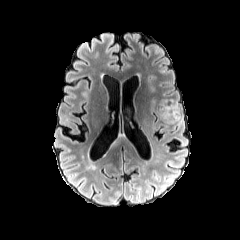
FLAIR MRI.
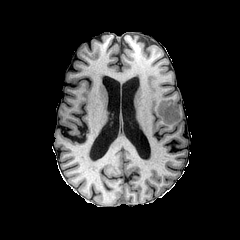
T1-weighted MR.
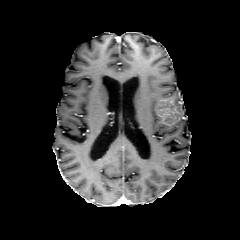
Post-contrast T1-weighted magnetic resonance of the same slice.
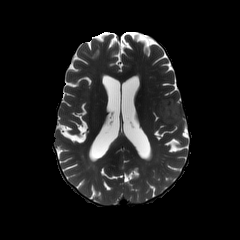
T2-weighted magnetic resonance of the same slice.
Head, Axial view
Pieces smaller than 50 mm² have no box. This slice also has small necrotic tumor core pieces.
enhancing tumor at left=159, top=99, right=177, bottom=124
peritumoral edema at left=174, top=101, right=182, bottom=124